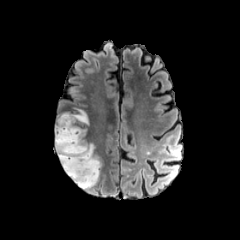
FLAIR MR.
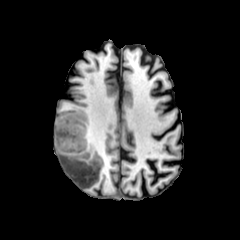
T1-weighted MR.
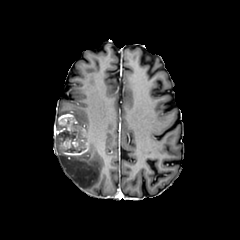
Post-contrast T1-weighted MR of the same slice.
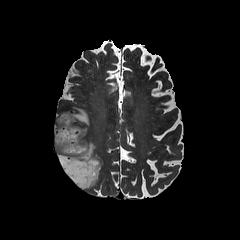
T2-weighted MR image of the same slice.
Brain. 240x240. Axial view.
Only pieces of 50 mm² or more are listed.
The 2 largest necrotic tumor core regions are bounded by (x1=59, y1=126, x2=82, y2=141), (x1=65, y1=144, x2=84, y2=152). 2 peritumoral edema regions are bounded by (x1=55, y1=136, x2=100, y2=189), (x1=56, y1=108, x2=90, y2=134). The enhancing tumor is at (x1=54, y1=114, x2=91, y2=155).